Head. Image covers 240 mm x 240 mm.
FLAIR MR.
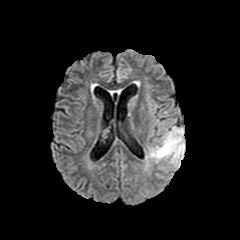
T1-weighted MR.
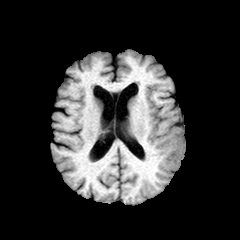
Post-contrast T1-weighted MR.
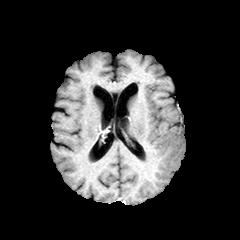
T2-weighted magnetic resonance.
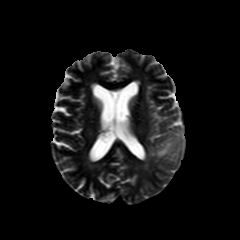
<segmentation>
  <peritumoral_edema>{"x1": 148, "y1": 126, "x2": 185, "y2": 167}</peritumoral_edema>
</segmentation>